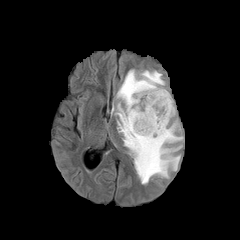
FLAIR MR image.
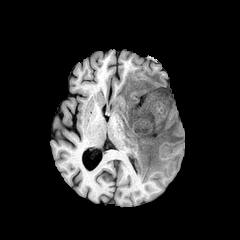
T1-weighted MR of the same slice.
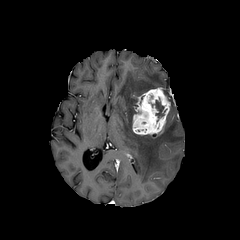
Same slice, post-contrast T1-weighted MR image.
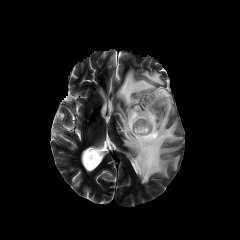
T2-weighted magnetic resonance.
Head, Axial view
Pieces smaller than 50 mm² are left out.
The necrotic tumor core is located at 155, 100, 163, 117. The largest peritumoral edema region appears at 115, 70, 183, 183. The enhancing tumor lies within 132, 87, 170, 136.